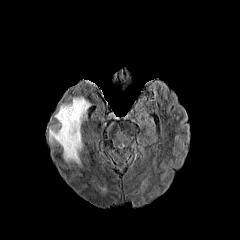
FLAIR MR image.
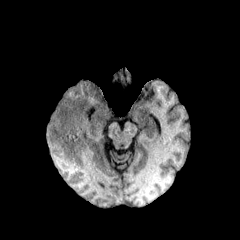
T1-weighted magnetic resonance.
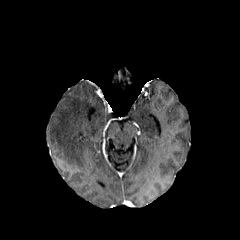
Same slice, post-contrast T1-weighted MR image.
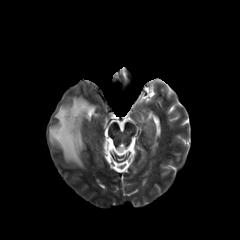
T2-weighted magnetic resonance.
Head | Axial view
{"peritumoral_edema": ["<bbox>49, 96, 90, 165</bbox>"]}